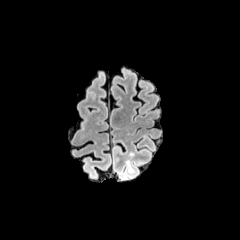
FLAIR MRI.
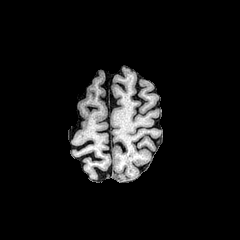
Same slice, T1-weighted MRI.
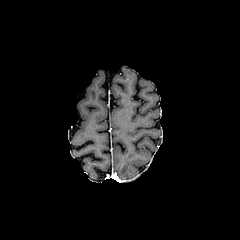
Post-contrast T1-weighted MR of the same slice.
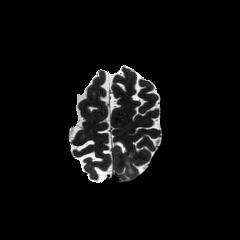
T2-weighted MR image of the same slice.
Axial slice; Image size 240x240; Head
peritumoral edema = rect(126, 161, 133, 173)